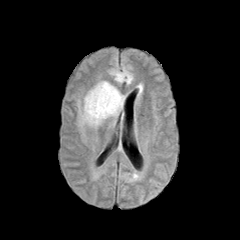
FLAIR magnetic resonance.
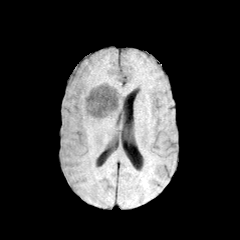
T1-weighted MR image.
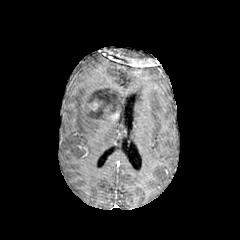
Post-contrast T1-weighted MR image of the same slice.
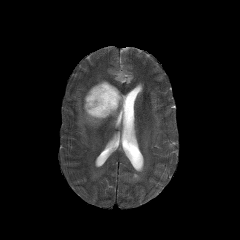
T2-weighted MR of the same slice.
240x240
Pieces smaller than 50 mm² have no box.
necrotic tumor core: 88,88,117,118 | enhancing tumor: 86,85,118,112; 106,107,118,118 | peritumoral edema: 109,67,133,84; 78,80,123,128